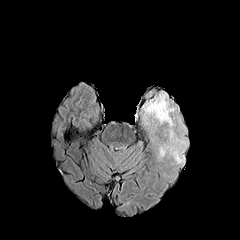
FLAIR MR.
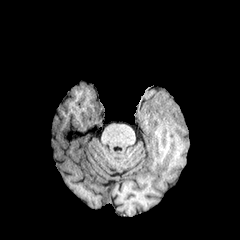
T1-weighted magnetic resonance.
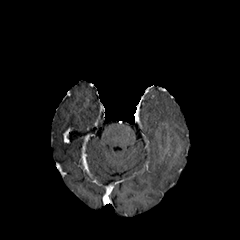
Post-contrast T1-weighted magnetic resonance.
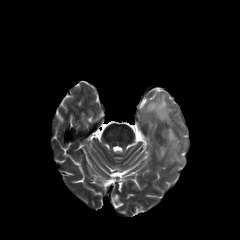
Same slice, T2-weighted MRI.
Head
peritumoral edema = {"x1": 143, "y1": 93, "x2": 185, "y2": 163}